Image width 240 mm; Slice 79/155; Head
FLAIR MRI.
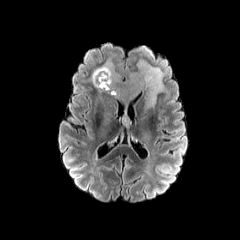
T1-weighted magnetic resonance.
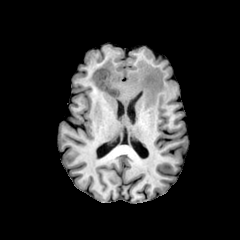
Post-contrast T1-weighted MRI.
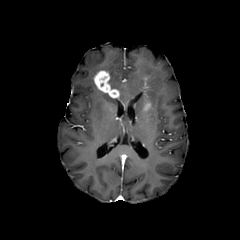
T2-weighted MRI.
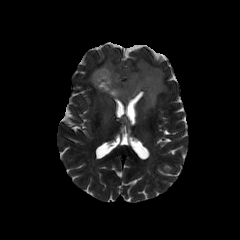
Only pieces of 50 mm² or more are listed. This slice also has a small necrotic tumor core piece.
3 enhancing tumor regions are bounded by x1=145 y1=100 x2=151 y2=109, x1=93 y1=70 x2=119 y2=97, x1=144 y1=76 x2=149 y2=88. The peritumoral edema appears at x1=91 y1=60 x2=164 y2=107.